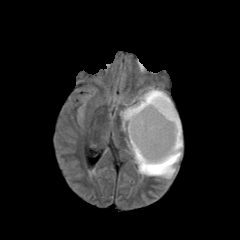
FLAIR MRI.
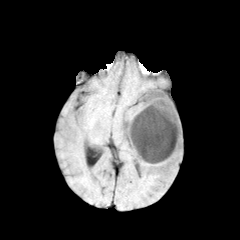
T1-weighted MR.
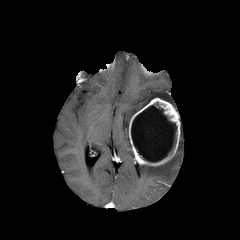
Same slice, post-contrast T1-weighted MR.
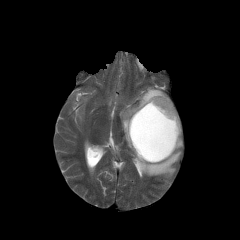
T2-weighted MR image.
Axial plane | 240x240
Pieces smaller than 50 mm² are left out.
necrotic tumor core = x1=131, y1=105, x2=176, y2=162
enhancing tumor = x1=128, y1=97, x2=180, y2=166
peritumoral edema = x1=120, y1=87, x2=172, y2=135; x1=139, y1=127, x2=182, y2=178